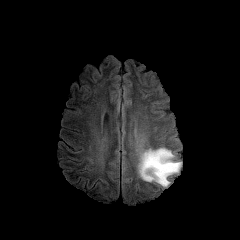
FLAIR magnetic resonance.
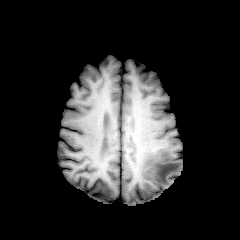
T1-weighted MR.
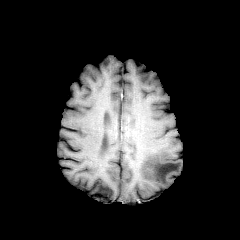
Same slice, post-contrast T1-weighted MRI.
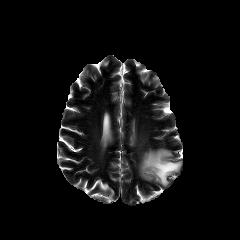
T2-weighted magnetic resonance.
240x240 px, Axial plane
peritumoral edema: box(139, 148, 181, 186)